FLAIR MR image.
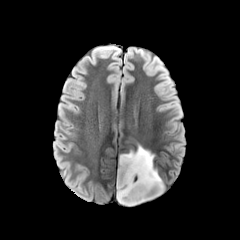
T1-weighted MRI.
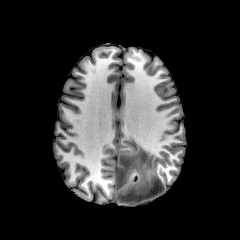
Post-contrast T1-weighted MR.
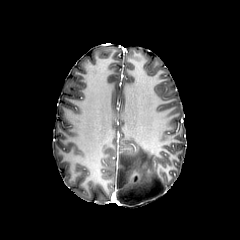
T2-weighted MRI.
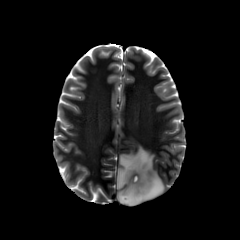
Axial slice. Head.
peritumoral edema at box=[116, 145, 164, 206]